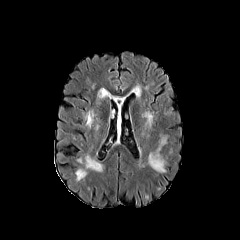
FLAIR magnetic resonance.
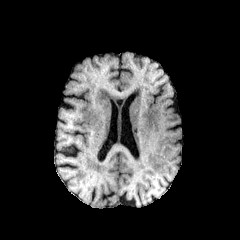
T1-weighted MR image.
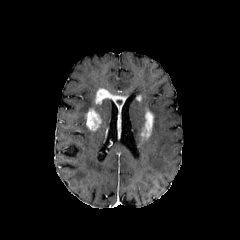
Post-contrast T1-weighted MRI.
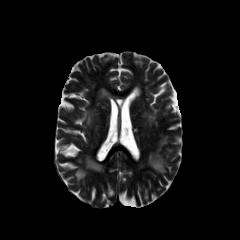
Same slice, T2-weighted MRI.
Head
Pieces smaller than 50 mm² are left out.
- peritumoral edema: region(129, 85, 141, 96)
- enhancing tumor: region(86, 109, 101, 130); region(95, 88, 125, 131); region(141, 110, 153, 138)